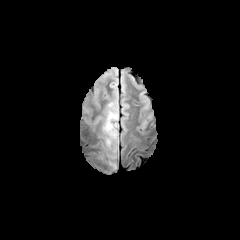
FLAIR MR image.
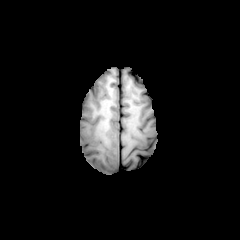
T1-weighted MR.
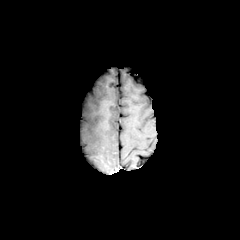
Post-contrast T1-weighted magnetic resonance.
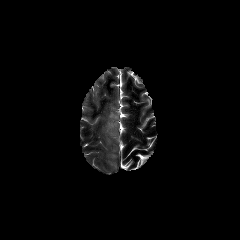
T2-weighted MRI.
Head
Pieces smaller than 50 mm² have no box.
<segmentation>
  <peritumoral_edema>l=104, t=112, r=118, b=138</peritumoral_edema>
</segmentation>